Axial slice; Image size 240x240
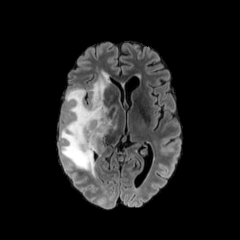
FLAIR MR image.
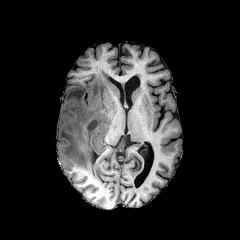
T1-weighted magnetic resonance.
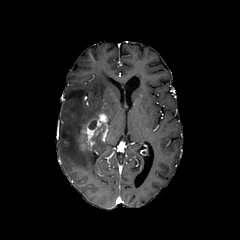
Post-contrast T1-weighted magnetic resonance.
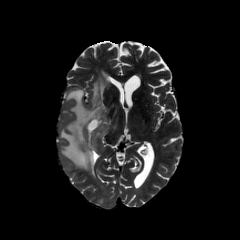
Same slice, T2-weighted MRI.
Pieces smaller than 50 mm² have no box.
peritumoral_edema:
  - box=[60, 73, 117, 177]
enhancing_tumor:
  - box=[78, 112, 107, 153]
  - box=[100, 124, 108, 142]
necrotic_tumor_core:
  - box=[88, 120, 96, 129]
  - box=[91, 125, 105, 140]